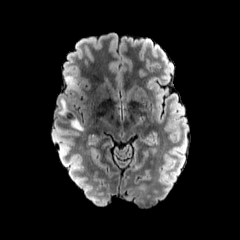
FLAIR MR image.
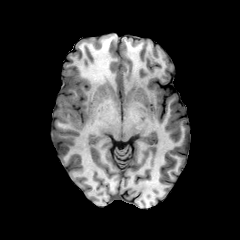
T1-weighted magnetic resonance.
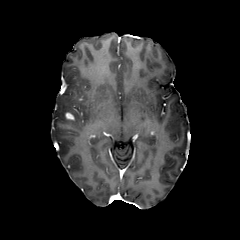
Post-contrast T1-weighted MRI of the same slice.
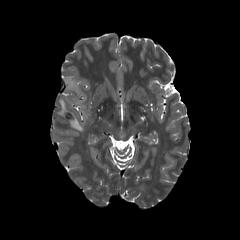
T2-weighted magnetic resonance.
240x240 px; Axial slice
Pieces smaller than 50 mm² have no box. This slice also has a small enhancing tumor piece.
<segmentation>
  <peritumoral_edema>[71,119,82,130], [64,75,75,88], [59,100,67,114]</peritumoral_edema>
</segmentation>